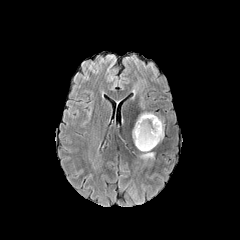
FLAIR MRI.
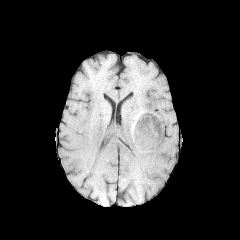
T1-weighted MR.
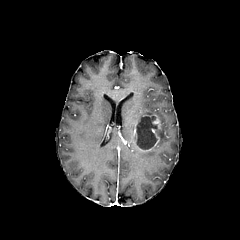
Same slice, post-contrast T1-weighted MR.
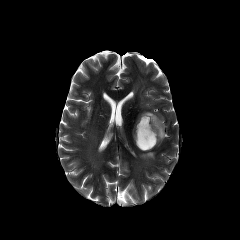
Same slice, T2-weighted MR image.
240x240 px
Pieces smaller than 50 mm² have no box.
<segmentation>
  <enhancing_tumor>133, 120, 140, 143; 136, 115, 161, 151</enhancing_tumor>
  <necrotic_tumor_core>136, 116, 157, 149</necrotic_tumor_core>
  <peritumoral_edema>136, 112, 154, 123; 160, 119, 164, 140; 140, 151, 154, 159</peritumoral_edema>
</segmentation>